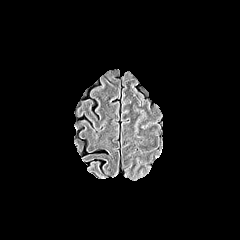
FLAIR MR image.
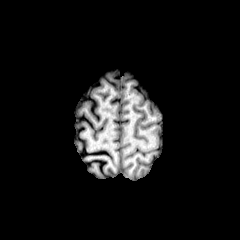
T1-weighted MRI.
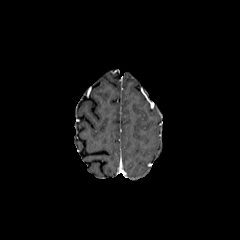
Post-contrast T1-weighted MRI of the same slice.
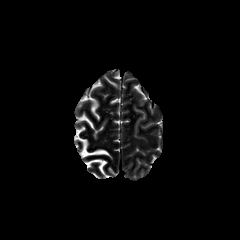
T2-weighted MRI of the same slice.
240x240 px. Head. Axial view.
2 peritumoral edema regions are located at 140, 121, 152, 129; 133, 104, 146, 133.